Image width 240 mm, 1.00 mm slice spacing, 240x240 px, Axial plane
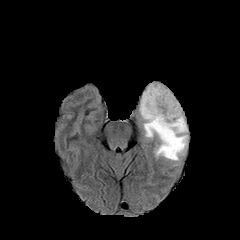
FLAIR magnetic resonance.
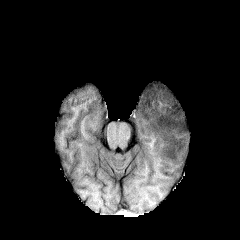
T1-weighted magnetic resonance.
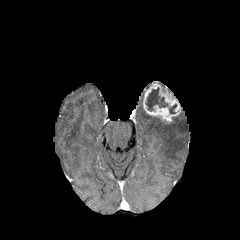
Same slice, post-contrast T1-weighted MRI.
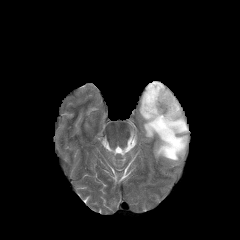
Same slice, T2-weighted MRI.
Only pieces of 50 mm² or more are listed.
Findings:
- peritumoral edema: (139, 93, 188, 162)
- necrotic tumor core: (146, 87, 167, 110)
- enhancing tumor: (142, 81, 181, 123)